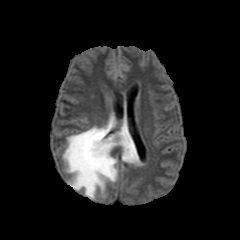
FLAIR MR image.
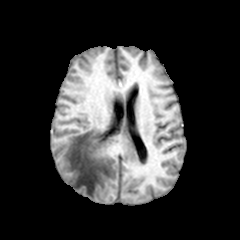
Same slice, T1-weighted MR.
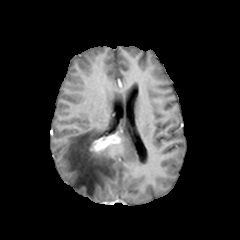
Post-contrast T1-weighted MR.
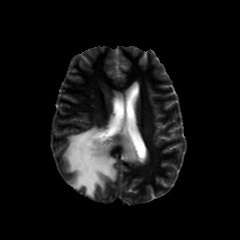
Same slice, T2-weighted MRI.
240x240, Axial view, Brain
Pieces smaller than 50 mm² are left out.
peritumoral edema at {"x1": 62, "y1": 126, "x2": 140, "y2": 199}
enhancing tumor at {"x1": 90, "y1": 133, "x2": 120, "y2": 153}